Slice 94/155; Axial view
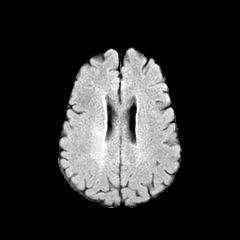
FLAIR MR.
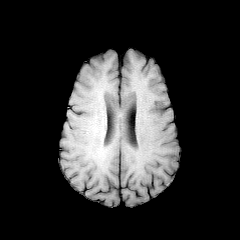
T1-weighted MR.
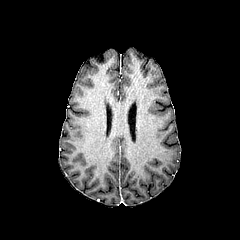
Post-contrast T1-weighted MRI.
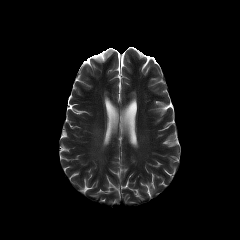
Same slice, T2-weighted MR.
The peritumoral edema lies within [91, 120, 105, 138].